Slice 77 of 155. Axial slice. 240x240.
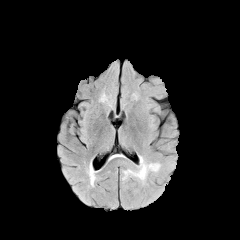
FLAIR magnetic resonance.
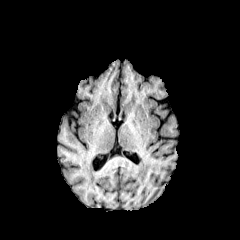
T1-weighted magnetic resonance.
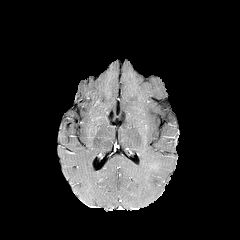
Post-contrast T1-weighted MRI of the same slice.
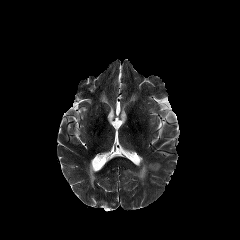
T2-weighted MR.
The peritumoral edema is bounded by [x1=122, y1=156, x2=160, y2=184].